FLAIR MR.
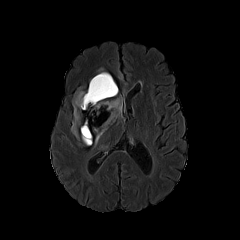
T1-weighted MRI.
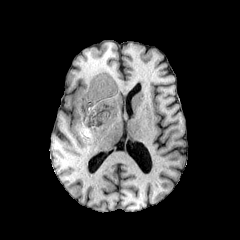
Post-contrast T1-weighted MR image.
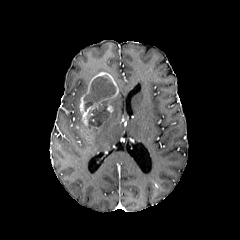
T2-weighted MRI.
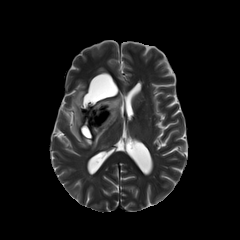
240x240 px
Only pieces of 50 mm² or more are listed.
enhancing_tumor:
  - l=79, t=72, r=118, b=131
peritumoral_edema:
  - l=71, t=91, r=85, b=137
  - l=80, t=124, r=92, b=145
  - l=94, t=97, r=123, b=146
necrotic_tumor_core:
  - l=84, t=75, r=115, b=126